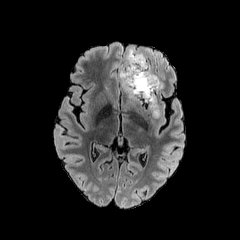
FLAIR MR.
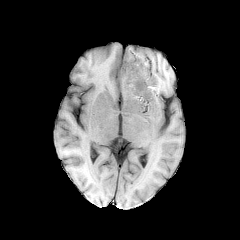
T1-weighted MRI.
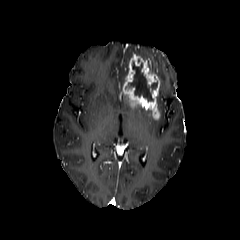
Post-contrast T1-weighted MR.
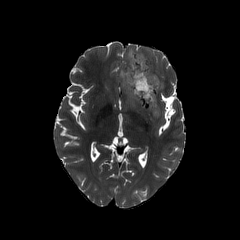
T2-weighted magnetic resonance of the same slice.
240x240 px | Brain | Axial view
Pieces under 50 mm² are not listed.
enhancing_tumor:
  - (left=122, top=54, right=160, bottom=119)
necrotic_tumor_core:
  - (left=128, top=61, right=157, bottom=101)
peritumoral_edema:
  - (left=119, top=46, right=145, bottom=88)